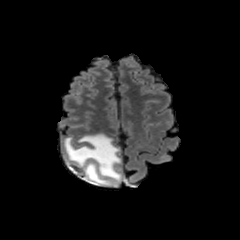
FLAIR MR image.
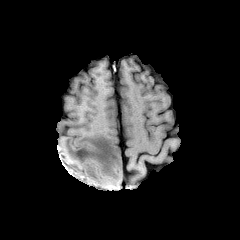
T1-weighted MR.
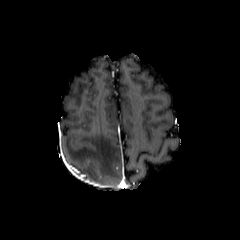
Same slice, post-contrast T1-weighted magnetic resonance.
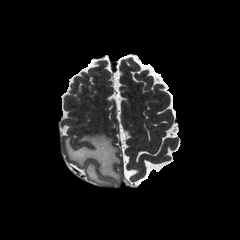
T2-weighted MR image of the same slice.
Head. Axial plane. 240x240 px.
peritumoral edema at 64 133 122 186